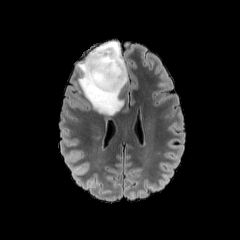
FLAIR MR.
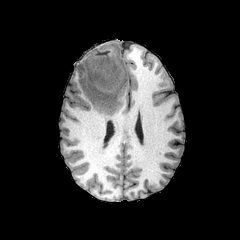
T1-weighted MRI of the same slice.
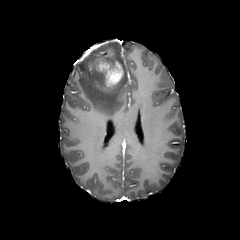
Post-contrast T1-weighted MR of the same slice.
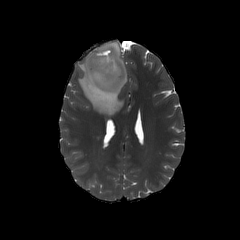
T2-weighted MR of the same slice.
Axial plane; 240x240
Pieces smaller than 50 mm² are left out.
peritumoral edema at 77,41,127,115
enhancing tumor at 90,60,123,89
necrotic tumor core at 91,68,104,83